Head | Slice 8 of 155 | Axial plane
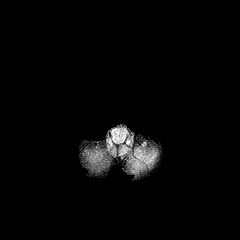
FLAIR MR image.
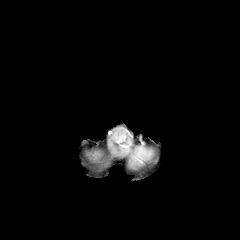
T1-weighted MR.
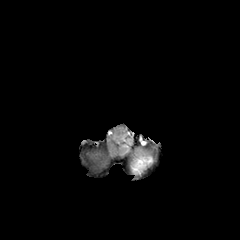
Post-contrast T1-weighted MR image.
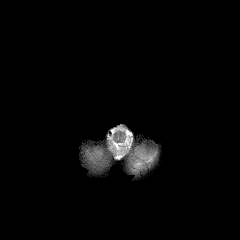
T2-weighted MR image.
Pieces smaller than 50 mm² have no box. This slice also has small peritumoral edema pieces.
The enhancing tumor lies within 133:157:151:171.